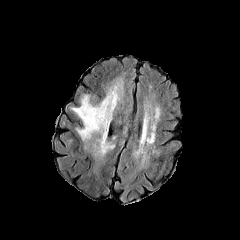
FLAIR magnetic resonance.
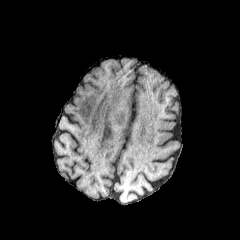
Same slice, T1-weighted MR.
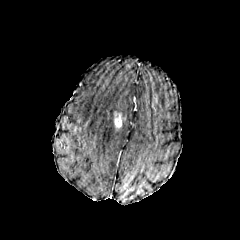
Post-contrast T1-weighted MRI of the same slice.
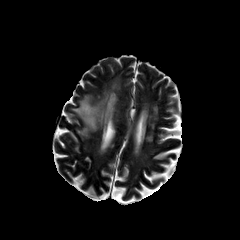
T2-weighted MRI.
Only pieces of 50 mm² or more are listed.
Findings:
- peritumoral edema: region(71, 79, 122, 141); region(93, 144, 114, 155)
- enhancing tumor: region(114, 113, 124, 127)